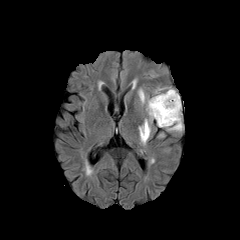
FLAIR magnetic resonance.
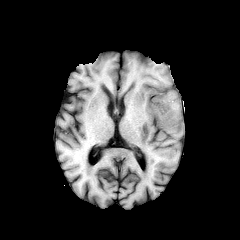
T1-weighted MR of the same slice.
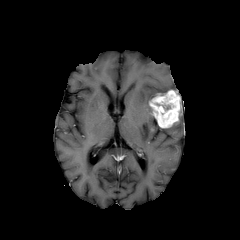
Post-contrast T1-weighted MR image of the same slice.
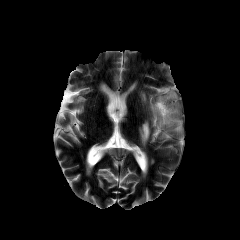
T2-weighted MRI of the same slice.
Brain. 240x240 px.
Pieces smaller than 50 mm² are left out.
Annotated regions:
* enhancing tumor: box(149, 89, 181, 128)
* necrotic tumor core: box(156, 98, 172, 111)
* peritumoral edema: box(139, 120, 150, 145); box(167, 116, 182, 132); box(139, 90, 145, 102)